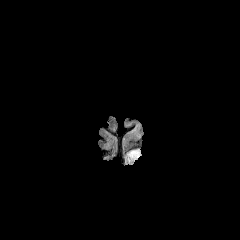
FLAIR MRI.
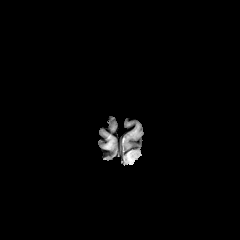
T1-weighted MR.
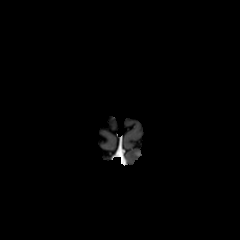
Post-contrast T1-weighted MR image.
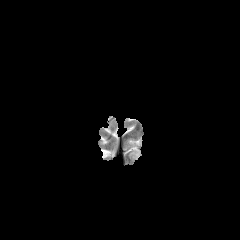
T2-weighted MR of the same slice.
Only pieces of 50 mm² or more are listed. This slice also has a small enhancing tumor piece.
The peritumoral edema appears at [x1=125, y1=149, x2=140, y2=164].